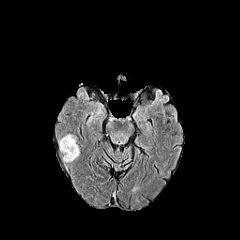
FLAIR MR.
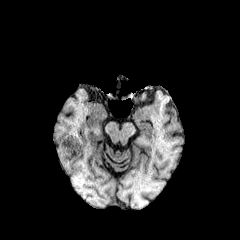
Same slice, T1-weighted MR.
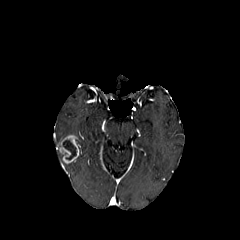
Post-contrast T1-weighted MRI of the same slice.
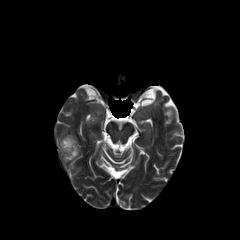
T2-weighted MR image of the same slice.
240x240. Brain.
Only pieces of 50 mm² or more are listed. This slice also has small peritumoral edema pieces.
Annotated regions:
- enhancing tumor: l=59, t=135, r=79, b=163
- necrotic tumor core: l=63, t=140, r=76, b=159